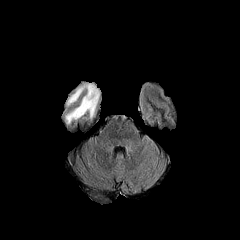
FLAIR magnetic resonance.
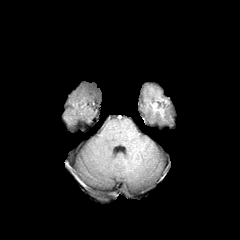
T1-weighted MRI.
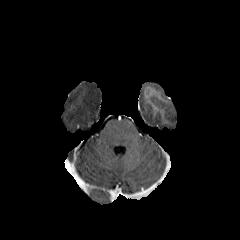
Post-contrast T1-weighted MR.
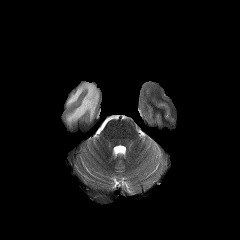
Same slice, T2-weighted MR.
<segmentation>
  <peritumoral_edema>box=[65, 83, 99, 124]</peritumoral_edema>
</segmentation>